Head | Axial plane | 240x240 | Slice 108 of 155
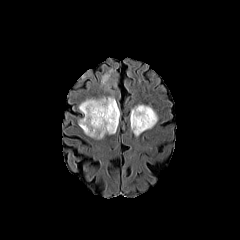
FLAIR magnetic resonance.
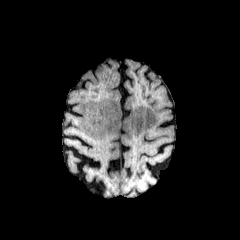
T1-weighted MR image.
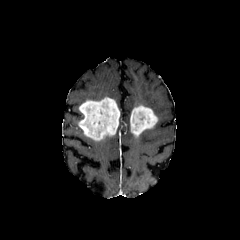
Post-contrast T1-weighted MRI.
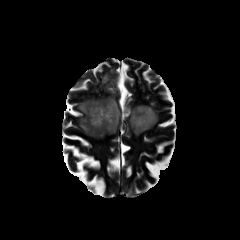
Same slice, T2-weighted magnetic resonance.
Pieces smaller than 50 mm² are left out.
enhancing tumor: bbox=[78, 97, 119, 140]; bbox=[130, 105, 157, 136] | peritumoral edema: bbox=[101, 69, 116, 93]